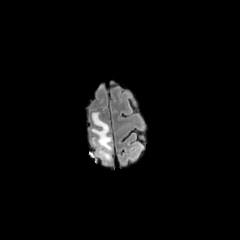
FLAIR MRI.
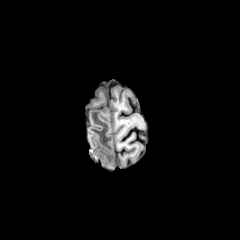
T1-weighted magnetic resonance of the same slice.
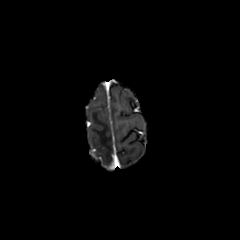
Post-contrast T1-weighted MRI.
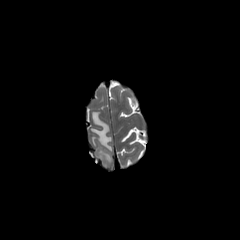
T2-weighted MRI.
Axial slice. Brain.
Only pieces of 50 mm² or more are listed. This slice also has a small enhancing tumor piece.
<segmentation>
  <peritumoral_edema>(91, 112, 112, 164)</peritumoral_edema>
</segmentation>